Image size 240x240; Axial plane; Head; Image width 240 mm
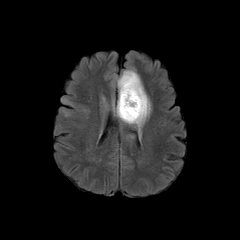
FLAIR MR image.
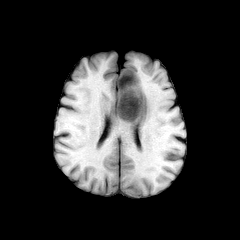
T1-weighted magnetic resonance.
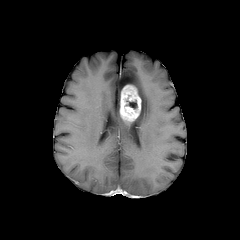
Post-contrast T1-weighted MR of the same slice.
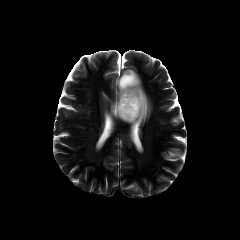
Same slice, T2-weighted MRI.
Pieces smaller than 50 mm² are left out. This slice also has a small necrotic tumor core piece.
peritumoral edema: 114, 69, 151, 136 | enhancing tumor: 119, 84, 141, 122